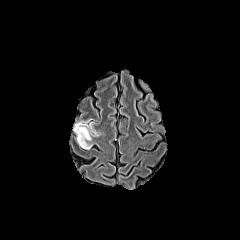
FLAIR MRI.
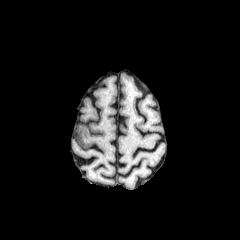
Same slice, T1-weighted MR.
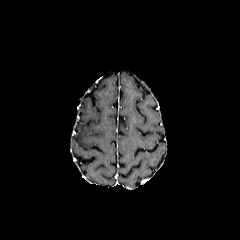
Same slice, post-contrast T1-weighted MR.
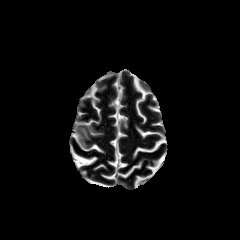
T2-weighted magnetic resonance.
Axial plane
{
  "peritumoral_edema": [
    "<bbox>75, 120, 96, 149</bbox>"
  ]
}